Image size 240x240, Axial view, Slice 67/155, Brain
FLAIR MR.
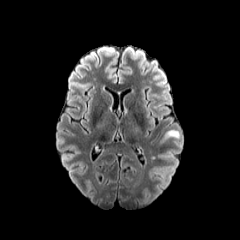
T1-weighted MRI.
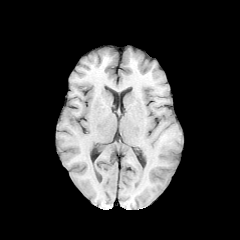
Post-contrast T1-weighted MR image.
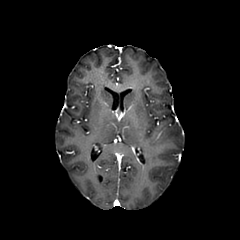
T2-weighted magnetic resonance.
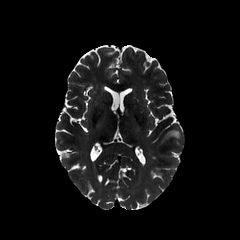
peritumoral edema — x1=163, y1=129, x2=179, y2=139